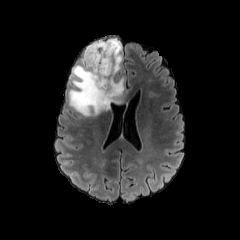
FLAIR MR.
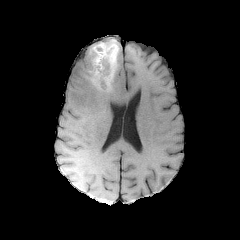
T1-weighted MR of the same slice.
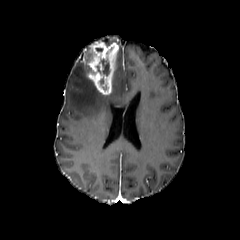
Same slice, post-contrast T1-weighted MR.
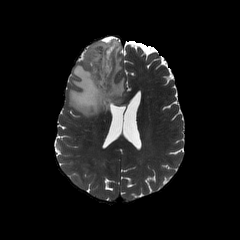
T2-weighted MR.
Axial slice | Head
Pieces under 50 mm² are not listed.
Annotated regions:
• necrotic tumor core: x1=101, y1=46, x2=114, y2=75; x1=86, y1=49, x2=96, y2=61
• enhancing tumor: x1=82, y1=41, x2=118, y2=95
• peritumoral edema: x1=68, y1=39, x2=128, y2=116